FLAIR MR.
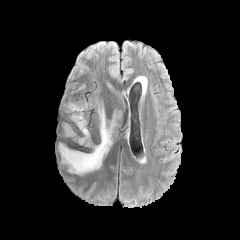
T1-weighted MR image.
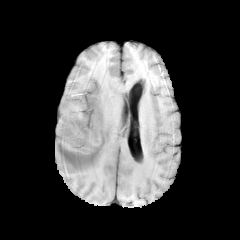
Post-contrast T1-weighted MR image.
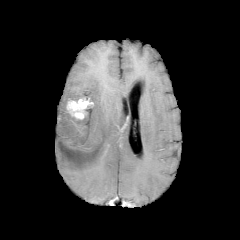
T2-weighted MRI.
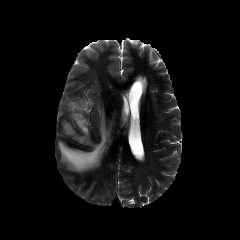
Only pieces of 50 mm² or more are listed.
Segmented structures:
• enhancing tumor: x1=67 y1=98 x2=93 y2=119
• peritumoral edema: x1=58 y1=103 x2=115 y2=174